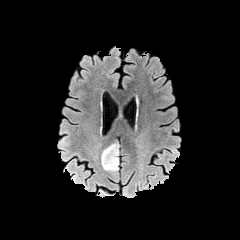
FLAIR MR.
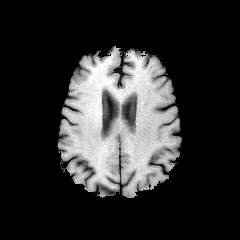
T1-weighted magnetic resonance.
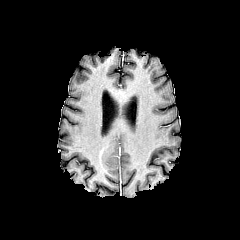
Same slice, post-contrast T1-weighted MR image.
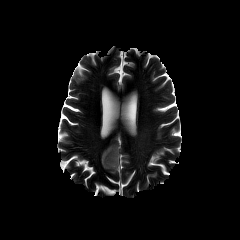
T2-weighted MR image of the same slice.
Head. Axial view. Image size 240x240.
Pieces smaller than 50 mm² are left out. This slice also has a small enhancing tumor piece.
peritumoral edema: l=101, t=143, r=118, b=171